Slice 99 of 155.
FLAIR magnetic resonance.
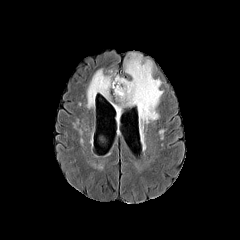
T1-weighted MRI.
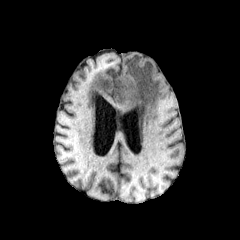
Post-contrast T1-weighted MRI.
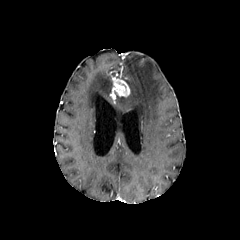
T2-weighted magnetic resonance.
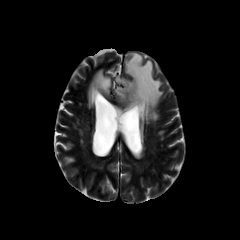
<segmentation>
  <peritumoral_edema><box>120,53,163,123</box>, <box>87,68,112,107</box></peritumoral_edema>
  <enhancing_tumor><box>112,76,130,97</box></enhancing_tumor>
</segmentation>